FLAIR MRI.
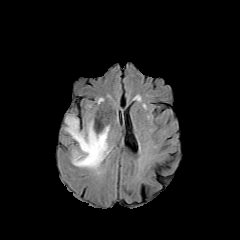
T1-weighted MR.
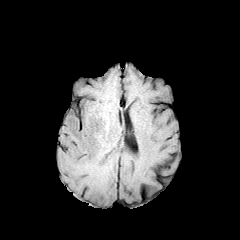
Post-contrast T1-weighted MRI.
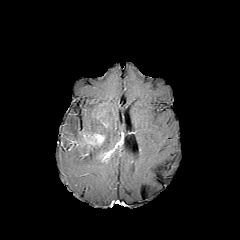
T2-weighted MR.
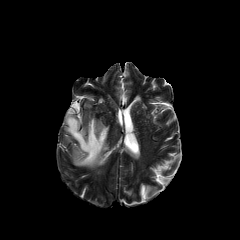
Axial view | Brain
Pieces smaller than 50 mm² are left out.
<segmentation>
  <peritumoral_edema>left=64, top=113, right=111, bottom=173</peritumoral_edema>
  <necrotic_tumor_core>left=94, top=119, right=104, bottom=132</necrotic_tumor_core>
  <enhancing_tumor>left=83, top=134, right=104, bottom=147; left=102, top=151, right=111, bottom=160</enhancing_tumor>
</segmentation>